Image width 240 mm | Slice 40 of 155
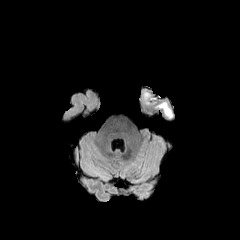
FLAIR magnetic resonance.
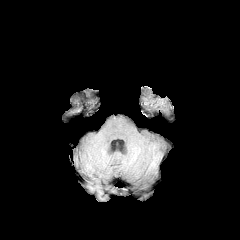
T1-weighted MR of the same slice.
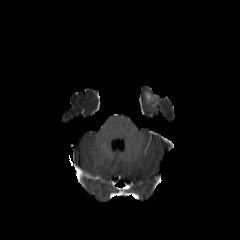
Same slice, post-contrast T1-weighted MR image.
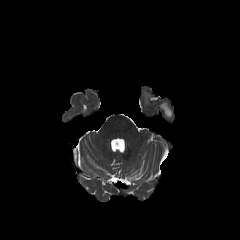
T2-weighted MRI.
enhancing tumor: bbox=[144, 92, 158, 105]
peritumoral edema: bbox=[156, 102, 172, 117]